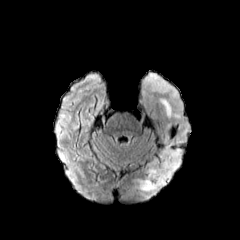
FLAIR MR image.
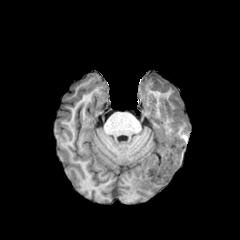
T1-weighted MR.
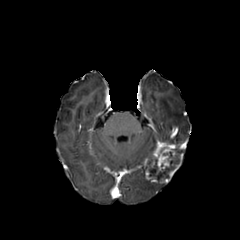
Post-contrast T1-weighted MR image.
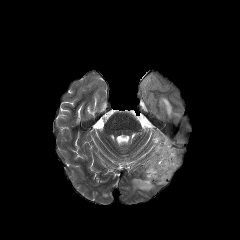
T2-weighted MR.
Head | Axial view
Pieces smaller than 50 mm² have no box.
peritumoral_edema:
  - region(160, 99, 180, 117)
  - region(133, 178, 166, 192)
  - region(164, 129, 186, 144)
necrotic_tumor_core:
  - region(149, 159, 175, 181)
enhancing_tumor:
  - region(145, 142, 183, 183)